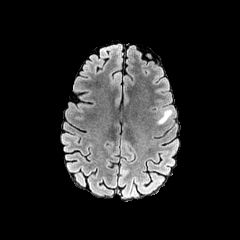
FLAIR MR.
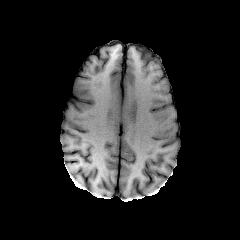
Same slice, T1-weighted magnetic resonance.
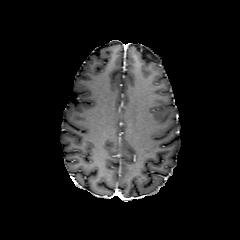
Post-contrast T1-weighted magnetic resonance of the same slice.
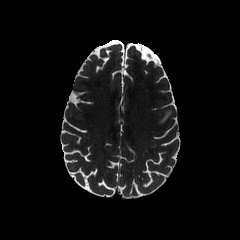
T2-weighted MR image.
Axial plane
Findings:
- peritumoral edema: bbox(157, 109, 172, 123)